240x240. Slice index 75. Axial slice.
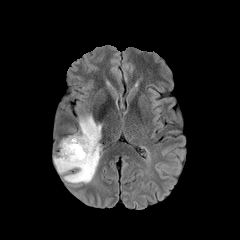
FLAIR magnetic resonance.
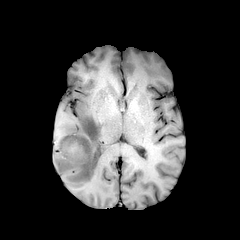
T1-weighted MRI.
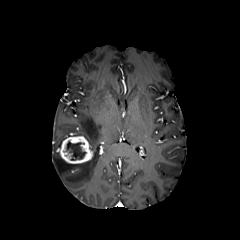
Post-contrast T1-weighted MR image of the same slice.
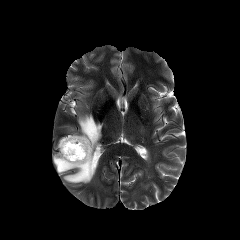
T2-weighted MR image of the same slice.
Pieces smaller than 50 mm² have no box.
enhancing tumor — (x1=58, y1=135, x2=93, y2=163)
peritumoral edema — (x1=53, y1=115, x2=101, y2=183)
necrotic tumor core — (x1=66, y1=141, x2=85, y2=160)